FLAIR magnetic resonance.
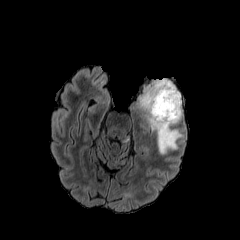
T1-weighted MR image.
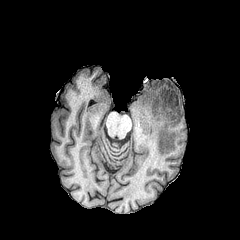
Post-contrast T1-weighted MR image.
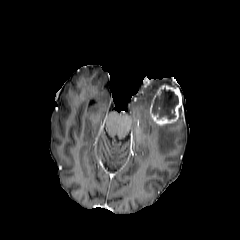
T2-weighted MR.
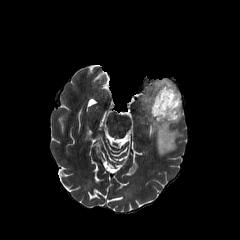
240x240 px.
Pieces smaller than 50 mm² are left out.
The largest enhancing tumor region is located at box(150, 84, 182, 125). The necrotic tumor core lies within box(152, 88, 178, 119). The peritumoral edema appears at box(139, 78, 183, 154).